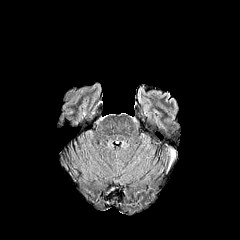
FLAIR MR image.
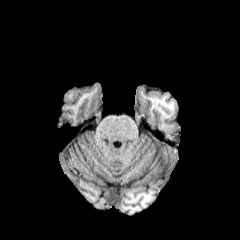
T1-weighted MR image.
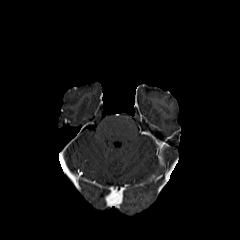
Post-contrast T1-weighted MR image of the same slice.
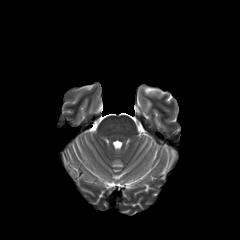
Same slice, T2-weighted MR image.
peritumoral edema: (left=169, top=148, right=175, bottom=167)